Slice 81/155; Image covers 240 mm x 240 mm; Axial view; 240x240 px; Head
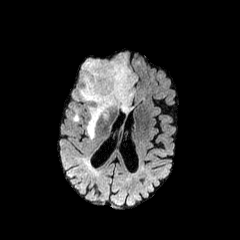
FLAIR MR.
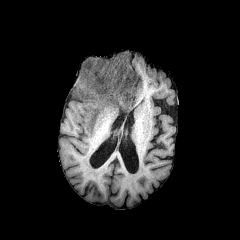
T1-weighted MR image.
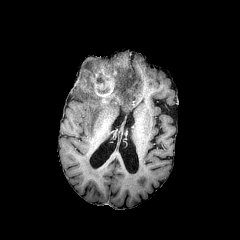
Same slice, post-contrast T1-weighted MR.
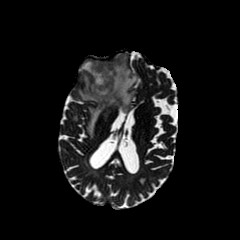
Same slice, T2-weighted MR.
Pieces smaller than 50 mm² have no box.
enhancing tumor — bbox(90, 58, 126, 104)
necrotic tumor core — bbox(96, 73, 104, 83)
peritumoral edema — bbox(78, 54, 136, 138)